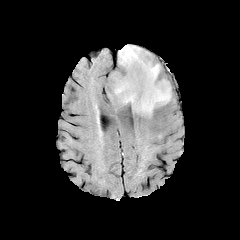
FLAIR MRI.
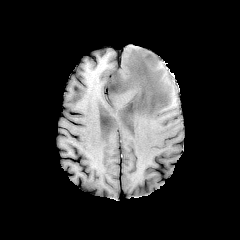
Same slice, T1-weighted MR.
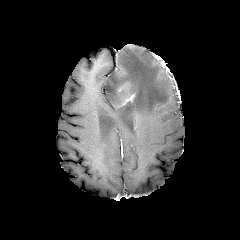
Post-contrast T1-weighted MRI of the same slice.
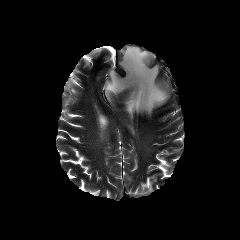
T2-weighted MRI.
240x240; Head
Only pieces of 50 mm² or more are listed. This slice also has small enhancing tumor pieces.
peritumoral edema: <bbox>107, 45, 171, 116</bbox>